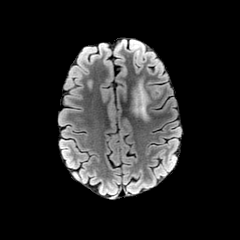
FLAIR MR.
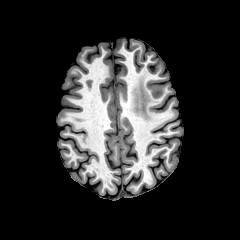
T1-weighted MR image.
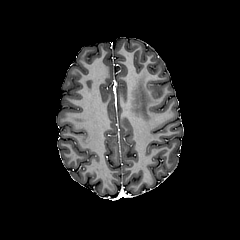
Same slice, post-contrast T1-weighted MRI.
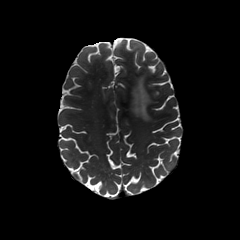
T2-weighted MRI.
Axial view. Image size 240x240.
Findings:
* peritumoral edema: x1=131 y1=79 x2=150 y2=120